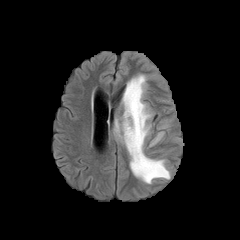
FLAIR MR image.
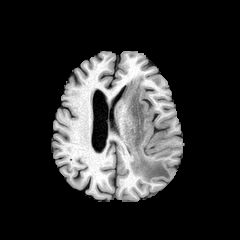
Same slice, T1-weighted MR.
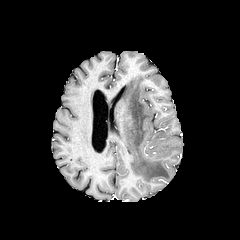
Post-contrast T1-weighted magnetic resonance.
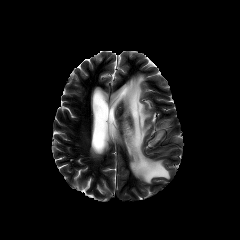
T2-weighted magnetic resonance.
Axial view
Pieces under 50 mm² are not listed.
* peritumoral edema: box(151, 132, 163, 144); box(121, 75, 170, 183)